Brain, Axial plane, Slice index 102, 240x240 px
FLAIR MR.
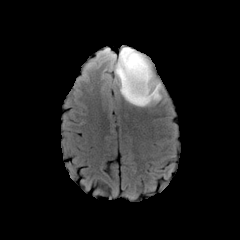
T1-weighted MR image.
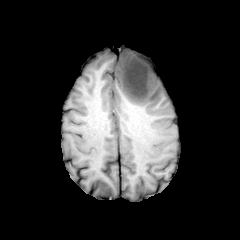
Post-contrast T1-weighted magnetic resonance.
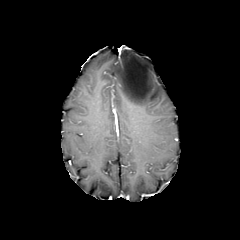
T2-weighted MRI.
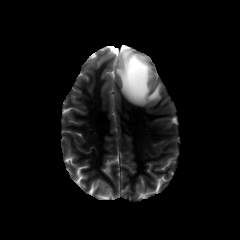
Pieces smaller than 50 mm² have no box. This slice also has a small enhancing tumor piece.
peritumoral edema at [114, 47, 162, 106]